FLAIR magnetic resonance.
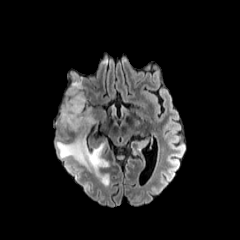
T1-weighted MR.
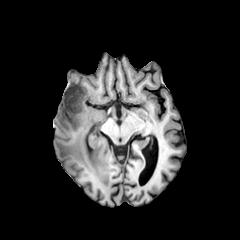
Post-contrast T1-weighted MR.
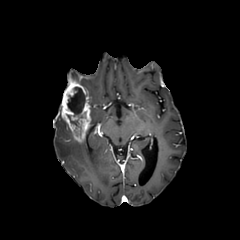
T2-weighted MRI.
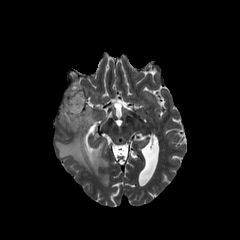
Brain
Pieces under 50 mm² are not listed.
necrotic tumor core: bounding box bbox=[67, 115, 78, 126]; bbox=[67, 87, 85, 116]
enhancing tumor: bounding box bbox=[60, 82, 91, 142]
peritumoral edema: bounding box bbox=[56, 139, 108, 174]